Head | Axial plane
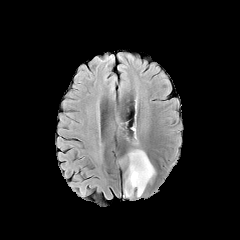
FLAIR magnetic resonance.
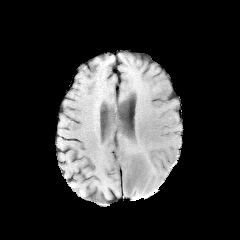
T1-weighted MRI.
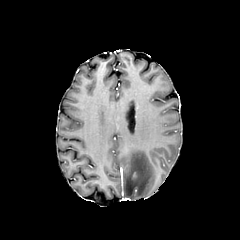
Same slice, post-contrast T1-weighted MR image.
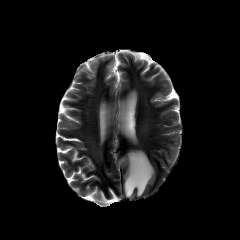
T2-weighted MRI.
peritumoral edema: bounding box bbox=[119, 149, 155, 197]